Brain; Slice 86 of 155
FLAIR MRI.
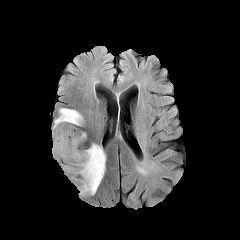
T1-weighted MRI.
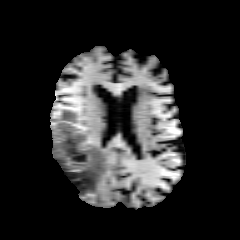
Post-contrast T1-weighted MR.
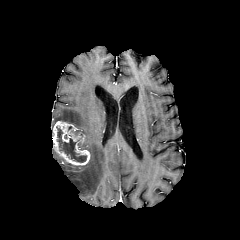
T2-weighted MRI.
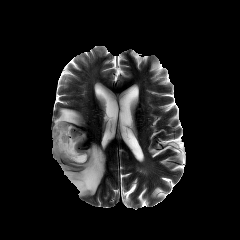
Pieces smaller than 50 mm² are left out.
peritumoral edema = [61,143,105,196], [54,108,83,125]
enhancing tumor = [52,121,90,165]
necrotic tumor core = [56,127,86,162]